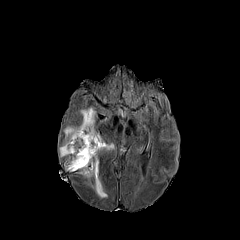
FLAIR MR image.
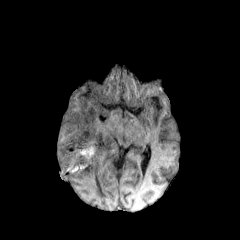
Same slice, T1-weighted MR image.
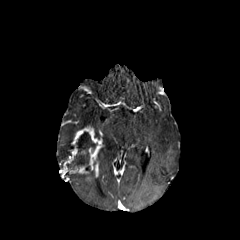
Same slice, post-contrast T1-weighted magnetic resonance.
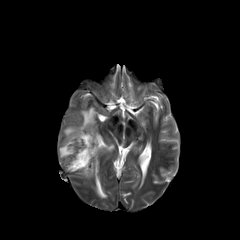
T2-weighted magnetic resonance.
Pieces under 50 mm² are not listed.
The largest enhancing tumor region lies within {"x1": 63, "y1": 125, "x2": 103, "y2": 177}. The 3 largest peritumoral edema regions are bounded by {"x1": 100, "y1": 141, "x2": 114, "y2": 150}, {"x1": 92, "y1": 176, "x2": 107, "y2": 197}, {"x1": 59, "y1": 107, "x2": 95, "y2": 157}. The necrotic tumor core is at {"x1": 67, "y1": 132, "x2": 96, "y2": 170}.